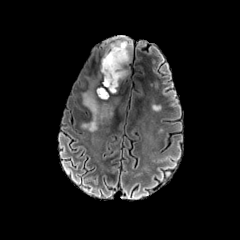
FLAIR MRI.
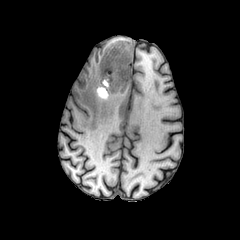
T1-weighted MRI of the same slice.
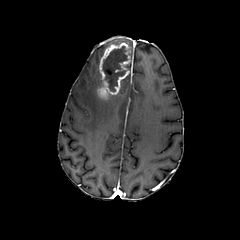
Post-contrast T1-weighted MR image.
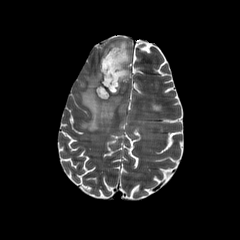
T2-weighted MR image.
Axial view
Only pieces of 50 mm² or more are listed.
necrotic tumor core — x1=103, y1=46, x2=127, y2=91
peritumoral edema — x1=111, y1=39, x2=132, y2=61; x1=81, y1=83, x2=121, y2=131
enhancing tumor — x1=97, y1=42, x2=130, y2=99